Head.
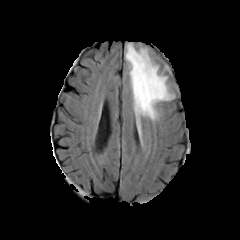
FLAIR MRI.
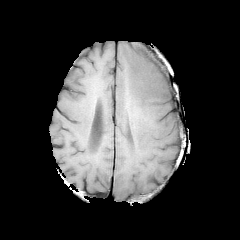
T1-weighted MRI.
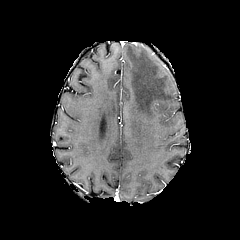
Same slice, post-contrast T1-weighted MR image.
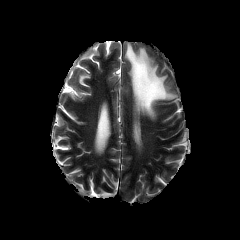
T2-weighted MR image.
• peritumoral edema: (125,43,174,126)